FLAIR MR.
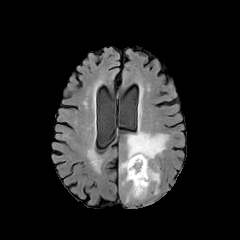
T1-weighted MRI.
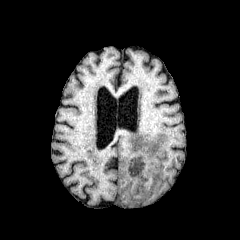
Post-contrast T1-weighted MR image.
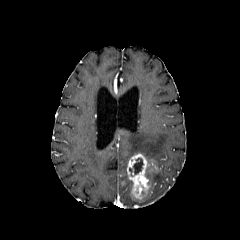
T2-weighted MR image.
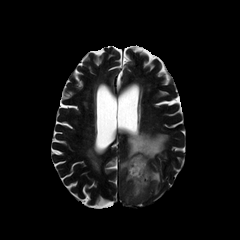
Head
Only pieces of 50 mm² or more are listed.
necrotic tumor core: bounding box box=[133, 158, 143, 174]
peritumoral edema: bounding box box=[147, 167, 160, 194]; box=[120, 128, 168, 171]
enhancing tumor: bounding box box=[127, 153, 149, 199]